FLAIR MR.
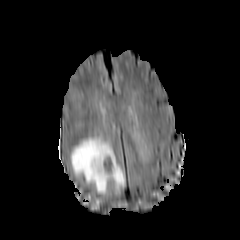
T1-weighted magnetic resonance.
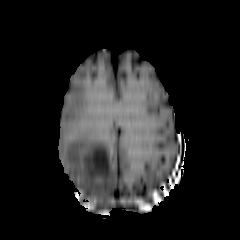
Post-contrast T1-weighted MR image.
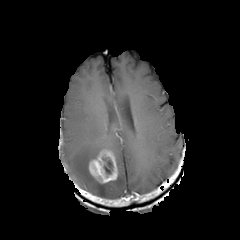
T2-weighted MR.
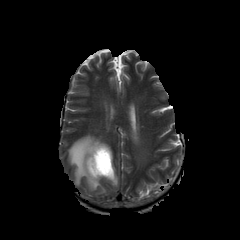
Image size 240x240
enhancing tumor = [88,148,118,183]
necrotic tumor core = [102,158,112,173]
peritumoral edema = [70,136,124,194]